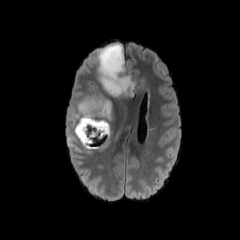
FLAIR MRI.
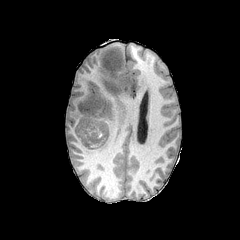
Same slice, T1-weighted MRI.
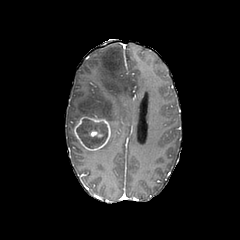
Same slice, post-contrast T1-weighted MR image.
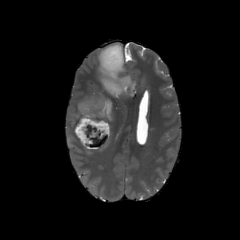
T2-weighted MR image.
Head
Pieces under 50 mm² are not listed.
peritumoral_edema:
  - bbox(65, 43, 148, 154)
enhancing_tumor:
  - bbox(90, 130, 102, 137)
  - bbox(74, 116, 110, 150)
necrotic_tumor_core:
  - bbox(76, 119, 107, 148)